FLAIR magnetic resonance.
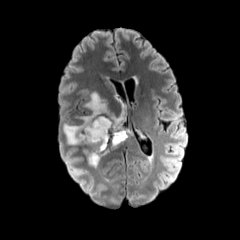
T1-weighted magnetic resonance.
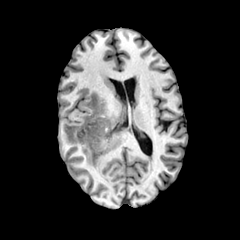
Post-contrast T1-weighted MR image.
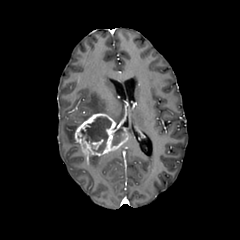
T2-weighted MRI.
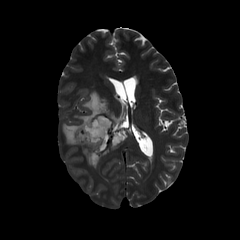
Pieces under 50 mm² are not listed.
necrotic tumor core: l=112, t=128, r=124, b=145; l=80, t=116, r=111, b=152 | enhancing tumor: l=74, t=113, r=128, b=164 | peritumoral edema: l=63, t=123, r=78, b=145; l=89, t=156, r=100, b=167; l=79, t=92, r=121, b=122